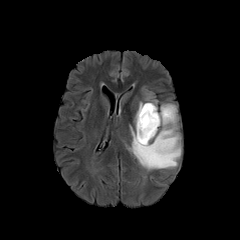
FLAIR MRI.
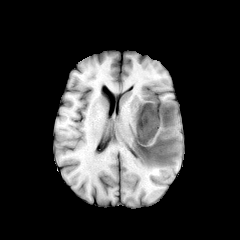
T1-weighted MR image.
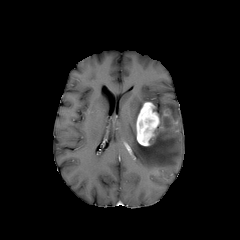
Same slice, post-contrast T1-weighted MRI.
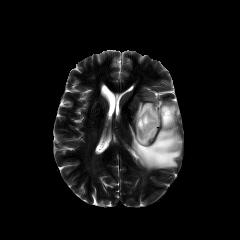
Same slice, T2-weighted MR image.
Head
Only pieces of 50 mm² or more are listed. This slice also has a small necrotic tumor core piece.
enhancing tumor: bounding box rect(162, 108, 176, 123); rect(136, 102, 160, 146)
peritumoral edema: bounding box rect(129, 102, 181, 170)